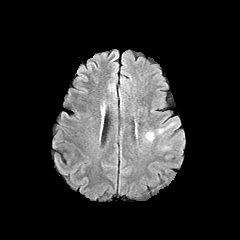
FLAIR MR image.
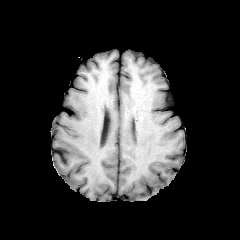
T1-weighted MR of the same slice.
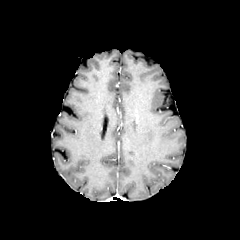
Post-contrast T1-weighted MRI.
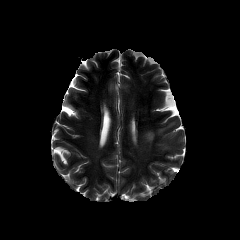
T2-weighted MR.
* peritumoral edema: 158 123 172 133, 145 131 154 141